240x240. Axial plane. Head.
FLAIR MRI.
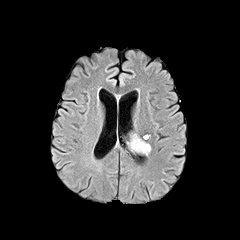
T1-weighted MR image.
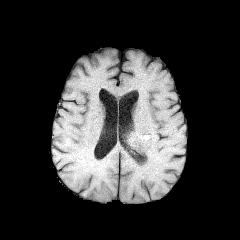
Post-contrast T1-weighted MR image.
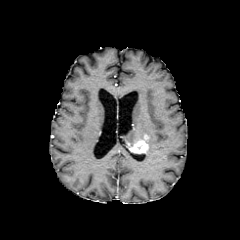
T2-weighted MRI.
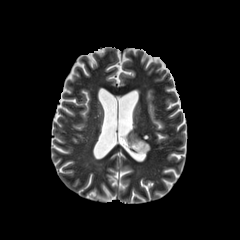
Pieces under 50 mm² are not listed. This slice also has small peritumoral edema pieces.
The enhancing tumor is bounded by region(128, 139, 148, 153).